Brain; Slice 78/155; Image size 240x240
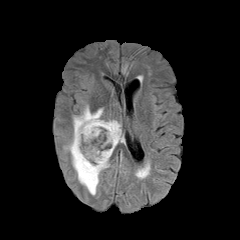
FLAIR MR.
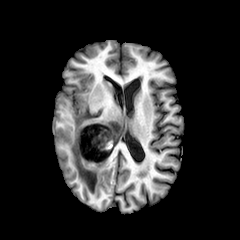
T1-weighted MR.
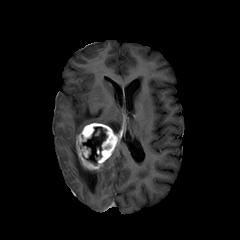
Same slice, post-contrast T1-weighted MR image.
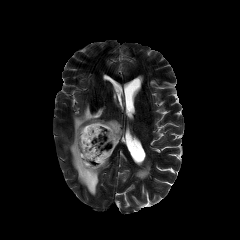
T2-weighted magnetic resonance.
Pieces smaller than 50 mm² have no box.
enhancing tumor: {"x1": 76, "y1": 123, "x2": 120, "y2": 170} | necrotic tumor core: {"x1": 82, "y1": 127, "x2": 106, "y2": 164} | peritumoral edema: {"x1": 64, "y1": 105, "x2": 121, "y2": 195}